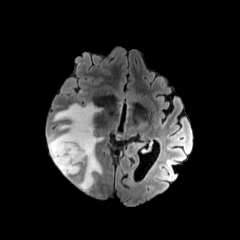
FLAIR MR.
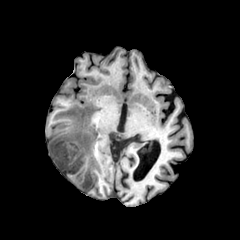
Same slice, T1-weighted MRI.
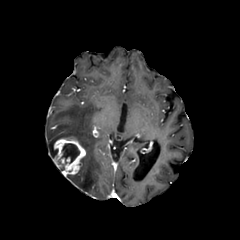
Post-contrast T1-weighted MR.
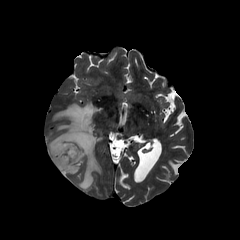
T2-weighted MR of the same slice.
Axial slice
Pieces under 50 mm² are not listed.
- necrotic tumor core: [61,143,79,163]
- peritumoral edema: [49,103,102,190]
- enhancing tumor: [53,137,85,176]